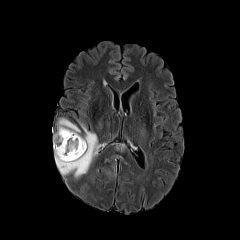
FLAIR MR image.
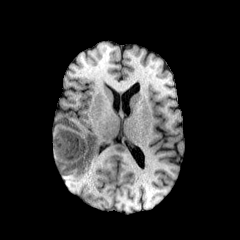
Same slice, T1-weighted MRI.
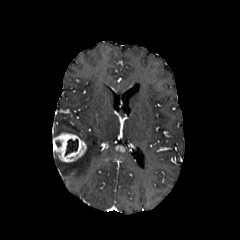
Same slice, post-contrast T1-weighted MR image.
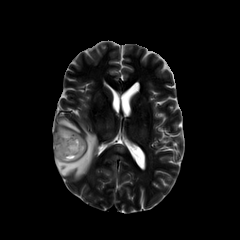
T2-weighted MRI of the same slice.
Axial view
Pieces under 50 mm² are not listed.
peritumoral edema: <box>54,118,98,178</box> | enhancing tumor: <box>53,132,86,162</box> | necrotic tumor core: <box>65,139,78,155</box>